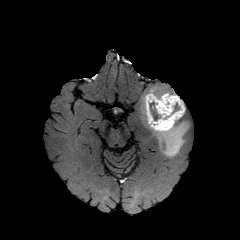
FLAIR MR.
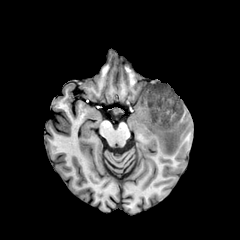
T1-weighted MR image.
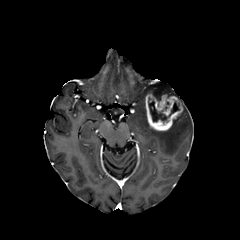
Post-contrast T1-weighted magnetic resonance.
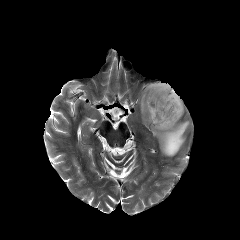
Same slice, T2-weighted MR.
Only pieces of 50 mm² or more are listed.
enhancing tumor: bounding box [145,93,182,130]
necrotic tumor core: bounding box [148,97,179,121]
peritumoral edema: bounding box [142,84,188,156]